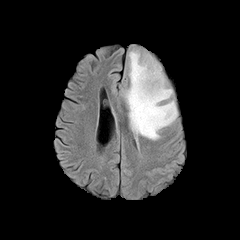
FLAIR MR image.
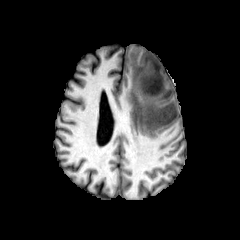
T1-weighted magnetic resonance.
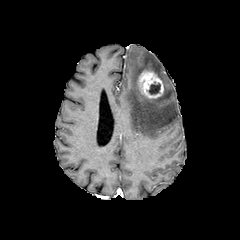
Post-contrast T1-weighted magnetic resonance of the same slice.
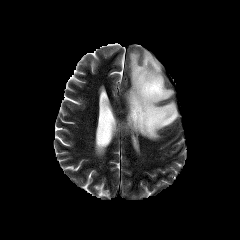
T2-weighted MR of the same slice.
Axial plane
peritumoral_edema:
  - (125,50,177,139)
necrotic_tumor_core:
  - (149,84,160,94)
enhancing_tumor:
  - (137,70,163,98)